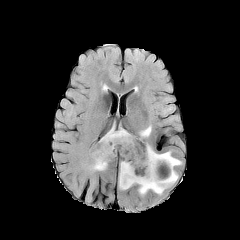
FLAIR MRI.
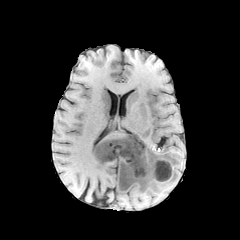
T1-weighted MR.
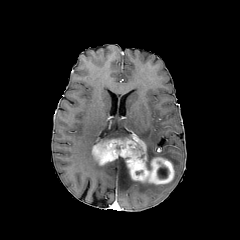
Post-contrast T1-weighted MRI.
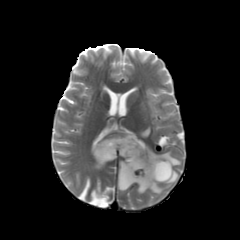
Same slice, T2-weighted MRI.
Head, 240x240 px
necrotic tumor core: x1=157, y1=165, x2=168, y2=178
peritumoral edema: x1=100, y1=128, x2=131, y2=141; x1=118, y1=160, x2=178, y2=194; x1=92, y1=154, x2=107, y2=170; x1=140, y1=126, x2=151, y2=137; x1=146, y1=144, x2=181, y2=168
enhancing tumor: x1=92, y1=134, x2=174, y2=184